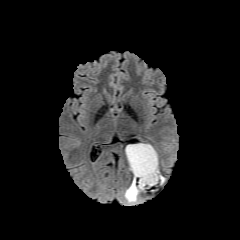
FLAIR MR.
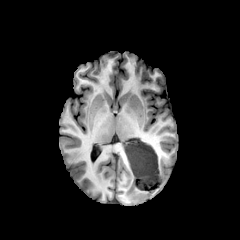
T1-weighted MRI.
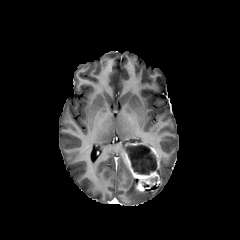
Same slice, post-contrast T1-weighted MRI.
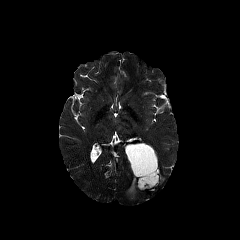
T2-weighted MR.
Axial view; Brain
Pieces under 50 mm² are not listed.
<segmentation>
  <peritumoral_edema>(125,177,141,202)</peritumoral_edema>
  <necrotic_tumor_core>(125,144,157,174)</necrotic_tumor_core>
  <enhancing_tumor>(125,143,161,190)</enhancing_tumor>
</segmentation>